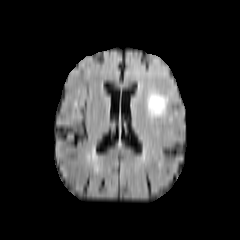
FLAIR MR.
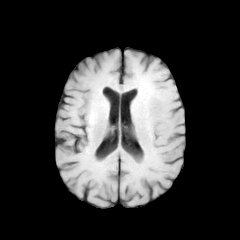
T1-weighted MR image.
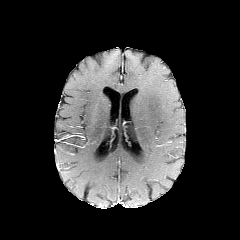
Same slice, post-contrast T1-weighted MR image.
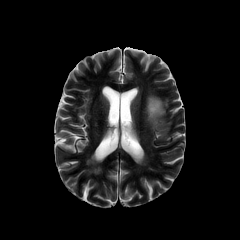
Same slice, T2-weighted MR image.
Brain; 240x240
The peritumoral edema appears at box=[147, 91, 166, 122].